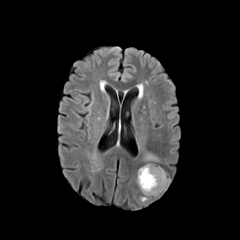
FLAIR MR image.
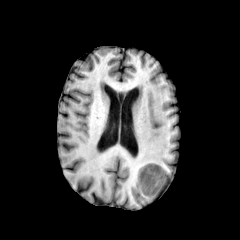
Same slice, T1-weighted MR image.
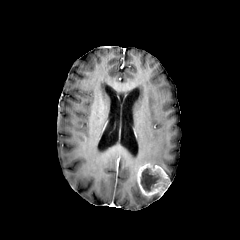
Post-contrast T1-weighted magnetic resonance of the same slice.
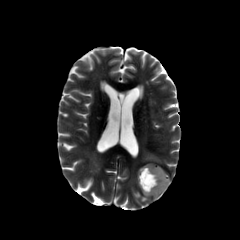
T2-weighted MRI of the same slice.
Head.
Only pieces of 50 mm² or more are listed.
The enhancing tumor is at <bbox>137, 163, 169, 196</bbox>. The largest necrotic tumor core region is located at <bbox>141, 168, 164, 191</bbox>. The largest peritumoral edema region appears at <bbox>144, 153, 159, 161</bbox>.